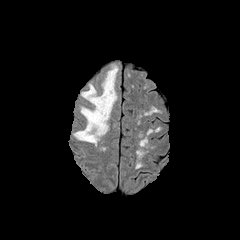
FLAIR magnetic resonance.
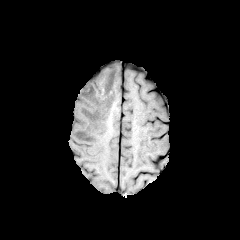
T1-weighted MR of the same slice.
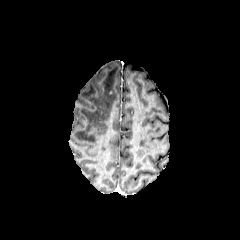
Same slice, post-contrast T1-weighted MRI.
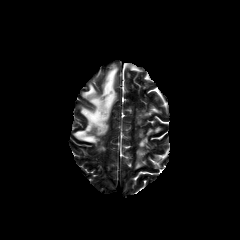
T2-weighted MR image.
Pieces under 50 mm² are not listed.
peritumoral edema — 73 64 118 144